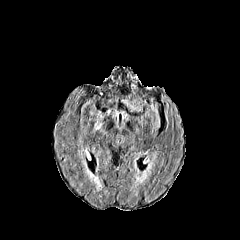
FLAIR MR image.
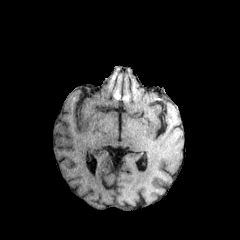
T1-weighted magnetic resonance.
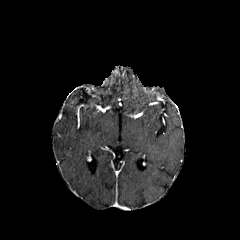
Post-contrast T1-weighted MR of the same slice.
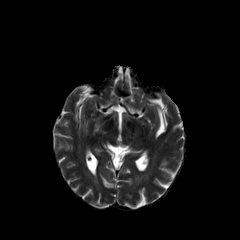
T2-weighted MR image.
Head; Axial slice
peritumoral edema: x1=94 y1=122 x2=103 y2=130